FLAIR MR image.
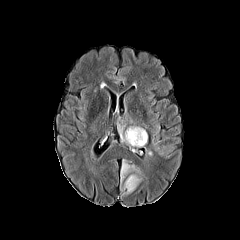
T1-weighted MRI.
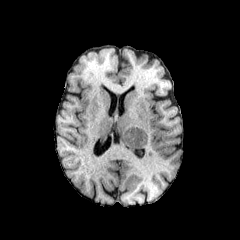
Post-contrast T1-weighted magnetic resonance.
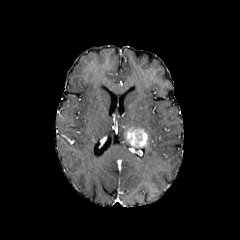
T2-weighted MR.
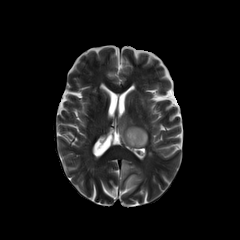
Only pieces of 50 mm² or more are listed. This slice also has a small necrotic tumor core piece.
enhancing tumor at (125, 127, 147, 147)
peritumoral edema at (120, 159, 141, 182), (117, 124, 126, 141), (121, 174, 142, 196)